240x240 px | Axial plane | Image width 240 mm, 1.00 mm slice spacing | Brain
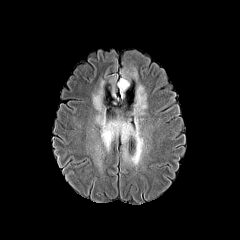
FLAIR MR image.
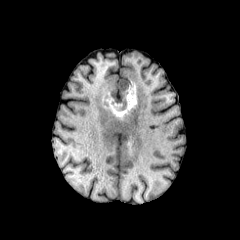
T1-weighted MR.
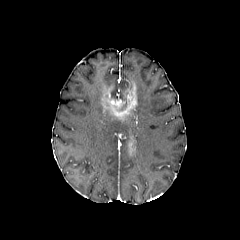
Post-contrast T1-weighted MR image of the same slice.
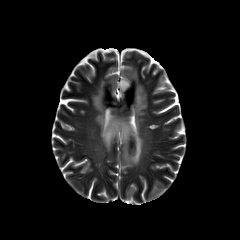
T2-weighted MR image.
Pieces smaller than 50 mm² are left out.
peritumoral edema — x1=92 y1=80 x2=147 y2=165, x1=117 y1=68 x2=137 y2=97